Head. Axial plane.
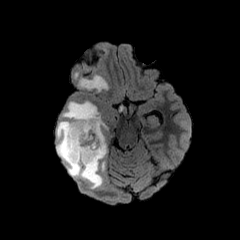
FLAIR MR.
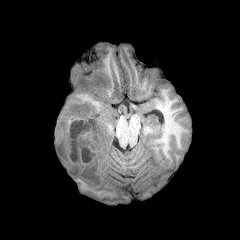
T1-weighted MR.
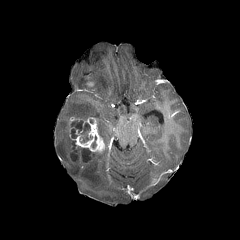
Post-contrast T1-weighted magnetic resonance.
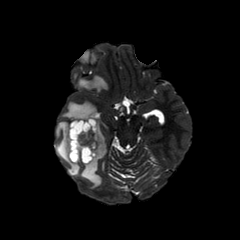
T2-weighted MRI of the same slice.
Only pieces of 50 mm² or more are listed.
peritumoral edema: (79, 75, 108, 91), (56, 101, 107, 188) | necrotic tumor core: (71, 120, 92, 142), (82, 148, 92, 162), (71, 141, 76, 161) | enhancing tumor: (69, 117, 105, 163), (85, 81, 94, 87)